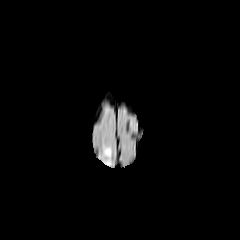
FLAIR MRI.
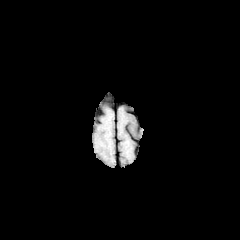
T1-weighted magnetic resonance of the same slice.
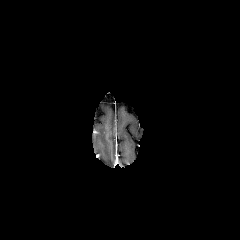
Post-contrast T1-weighted MR image of the same slice.
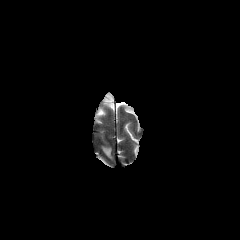
Same slice, T2-weighted MR image.
Head. Image size 240x240.
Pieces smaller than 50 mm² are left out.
<segmentation>
  <peritumoral_edema>left=103, top=146, right=111, bottom=157</peritumoral_edema>
</segmentation>